FLAIR magnetic resonance.
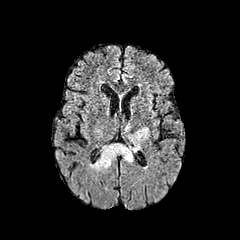
T1-weighted magnetic resonance.
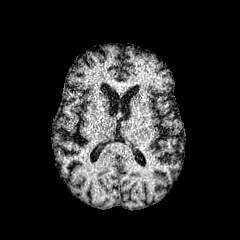
Post-contrast T1-weighted MR.
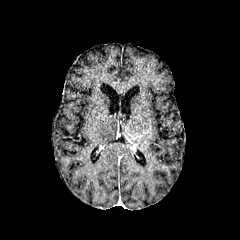
T2-weighted MR.
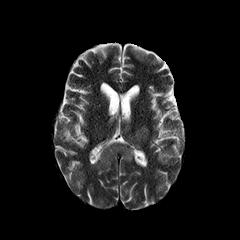
Head, Axial view
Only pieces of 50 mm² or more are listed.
peritumoral_edema:
  - box(92, 144, 132, 170)
  - box(129, 127, 149, 147)
enhancing_tumor:
  - box(136, 131, 147, 140)